Slice 44 of 155 | Image width 240 mm, 1.00 mm slice spacing | Brain | Axial plane
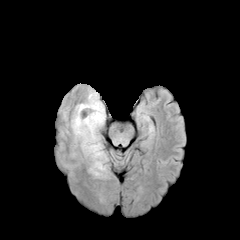
FLAIR MRI.
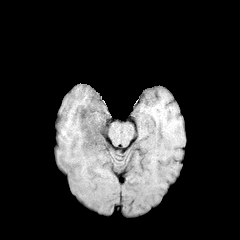
T1-weighted MR.
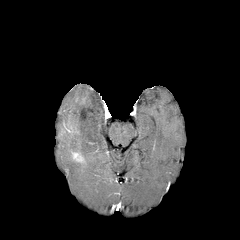
Post-contrast T1-weighted MR of the same slice.
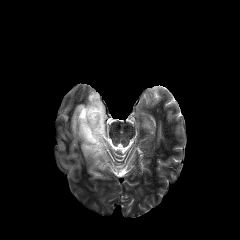
T2-weighted MRI.
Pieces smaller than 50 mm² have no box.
The largest peritumoral edema region appears at 71 91 108 176. The enhancing tumor lies within 72 152 83 161.